240x240 | Slice 132/155
FLAIR MR image.
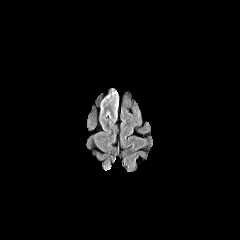
T1-weighted MR.
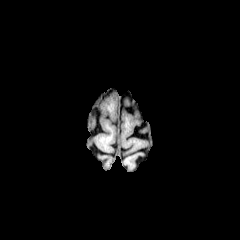
Post-contrast T1-weighted MRI.
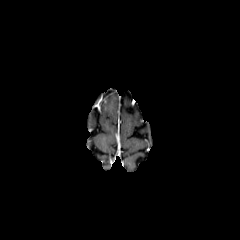
T2-weighted MRI.
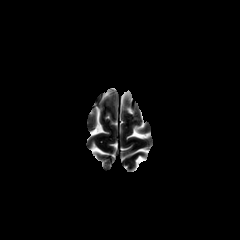
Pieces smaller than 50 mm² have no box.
peritumoral edema: (x1=100, y1=91, x2=119, y2=117)